FLAIR MRI.
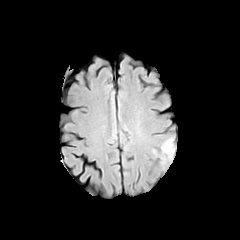
T1-weighted magnetic resonance.
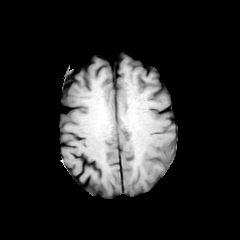
Post-contrast T1-weighted MR image.
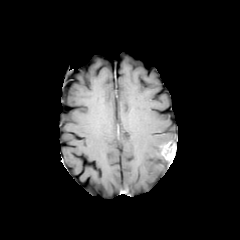
T2-weighted MRI.
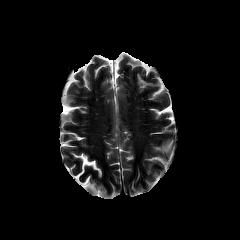
Brain | 240x240 px | Axial slice
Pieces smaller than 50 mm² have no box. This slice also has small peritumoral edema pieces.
Annotated regions:
• enhancing tumor: {"x1": 161, "y1": 141, "x2": 175, "y2": 163}